FLAIR magnetic resonance.
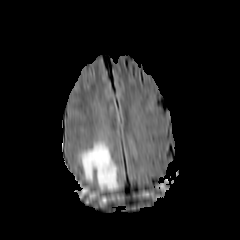
T1-weighted MR image.
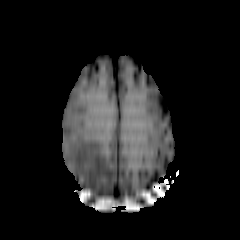
Post-contrast T1-weighted magnetic resonance.
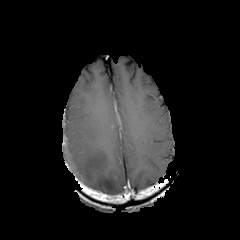
T2-weighted magnetic resonance.
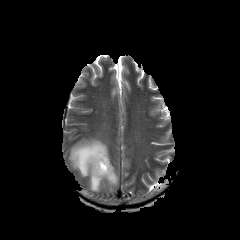
240x240 px. Head.
peritumoral edema: bounding box (76,139,118,191)